Axial view
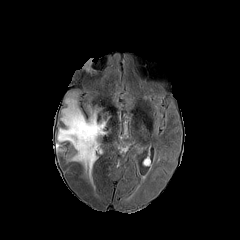
FLAIR MR image.
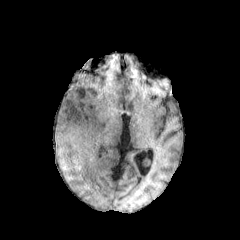
T1-weighted magnetic resonance of the same slice.
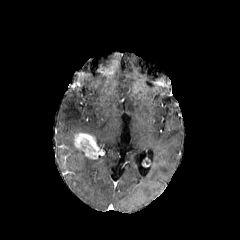
Post-contrast T1-weighted MR.
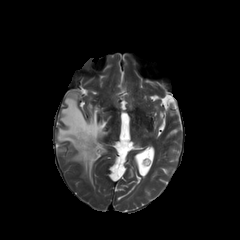
Same slice, T2-weighted MR image.
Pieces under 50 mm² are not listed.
Annotated regions:
* peritumoral edema: [57,92,106,182]
* enhancing tumor: [74,133,100,159]